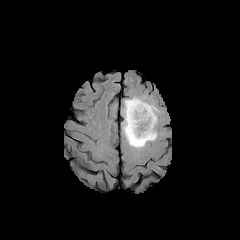
FLAIR magnetic resonance.
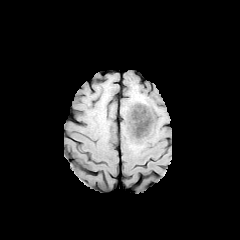
T1-weighted MR.
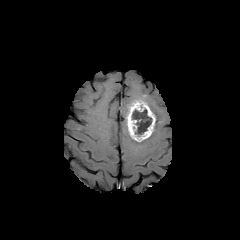
Post-contrast T1-weighted magnetic resonance.
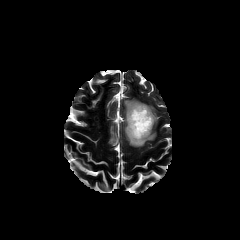
T2-weighted MRI of the same slice.
Image size 240x240
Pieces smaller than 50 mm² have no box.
{"necrotic_tumor_core": ["132, 110, 140, 120", "135, 122, 148, 134"], "peritumoral_edema": ["123, 97, 157, 148", "147, 103, 158, 127"], "enhancing_tumor": ["126, 100, 155, 141"]}